Head | Axial view
FLAIR magnetic resonance.
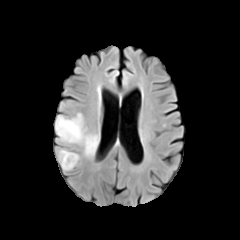
T1-weighted MR image.
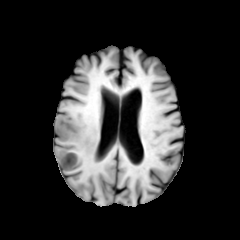
Post-contrast T1-weighted MRI.
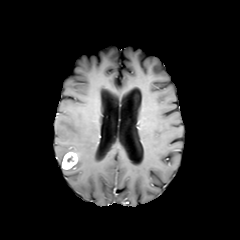
T2-weighted MR.
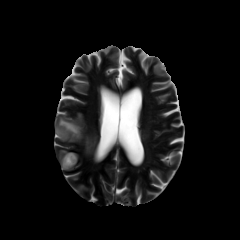
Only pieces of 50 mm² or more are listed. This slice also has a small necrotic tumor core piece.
enhancing_tumor:
  - 62:152:77:169
peritumoral_edema:
  - 55:113:97:156
  - 58:149:68:165